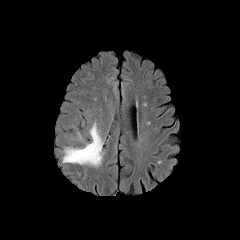
FLAIR MR image.
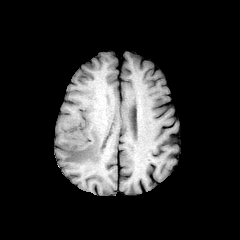
T1-weighted MR.
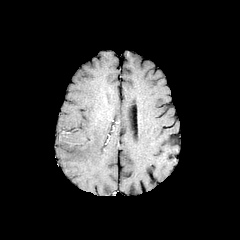
Post-contrast T1-weighted MR.
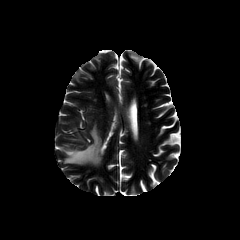
T2-weighted MRI.
Brain
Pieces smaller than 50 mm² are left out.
peritumoral edema at x1=63 y1=123 x2=103 y2=166